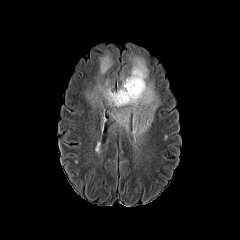
FLAIR MR.
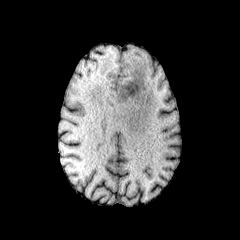
T1-weighted MR image of the same slice.
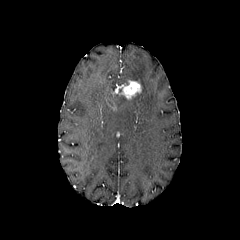
Same slice, post-contrast T1-weighted MR.
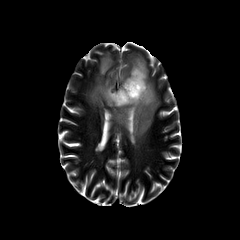
T2-weighted MR image.
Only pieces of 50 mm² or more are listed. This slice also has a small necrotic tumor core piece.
peritumoral edema = (90,57,159,141), (100,55,112,74)
enhancing tumor = (113,80,141,99)